FLAIR MRI.
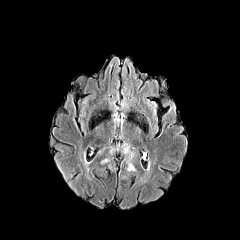
T1-weighted MRI.
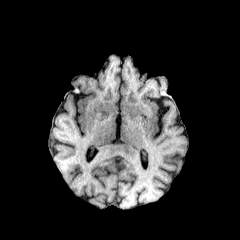
Post-contrast T1-weighted MR.
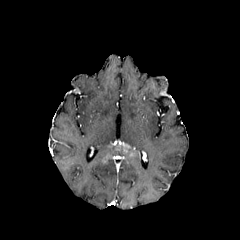
T2-weighted MR image.
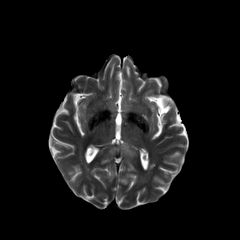
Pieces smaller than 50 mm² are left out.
enhancing tumor: (115, 142, 136, 159), (102, 153, 114, 163) | peritumoral edema: (127, 159, 135, 171)